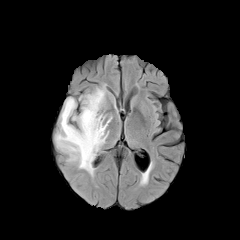
FLAIR MRI.
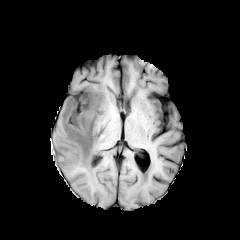
T1-weighted MRI.
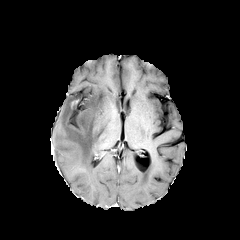
Post-contrast T1-weighted magnetic resonance.
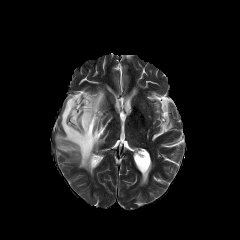
T2-weighted MRI.
Axial view
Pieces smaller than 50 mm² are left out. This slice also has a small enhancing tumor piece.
{
  "peritumoral_edema": [
    "l=55, t=85, r=111, b=175"
  ]
}